FLAIR MR image.
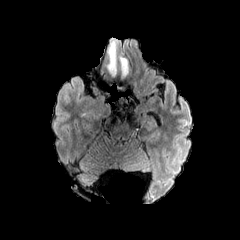
T1-weighted MR image.
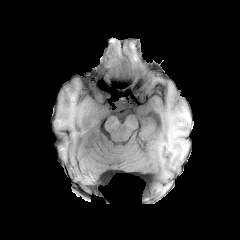
Post-contrast T1-weighted MR image.
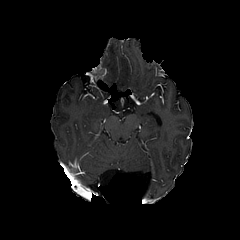
T2-weighted MR image.
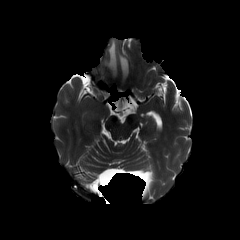
Brain
Findings:
* peritumoral edema: <bbox>108, 39, 116, 73</bbox>, <bbox>119, 55, 128, 75</bbox>